FLAIR MR.
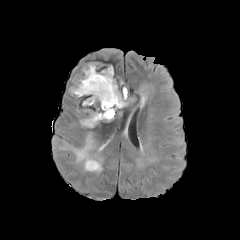
T1-weighted MR image.
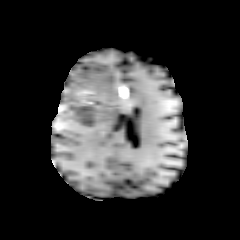
Post-contrast T1-weighted MRI.
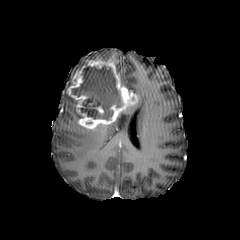
T2-weighted MRI.
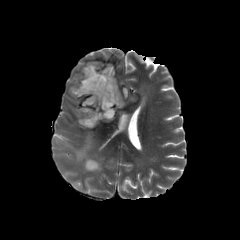
Brain
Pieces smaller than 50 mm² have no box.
{"enhancing_tumor": ["[x1=67, y1=61, x2=137, y2=129]"], "peritumoral_edema": ["[x1=59, y1=132, x2=102, y2=172]"], "necrotic_tumor_core": ["[x1=72, y1=65, x2=121, y2=120]", "[x1=87, y1=159, x2=96, y2=166]"]}